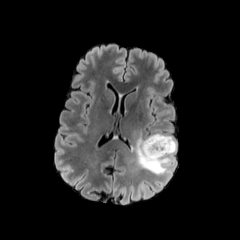
FLAIR MRI.
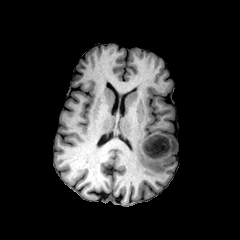
T1-weighted MR image.
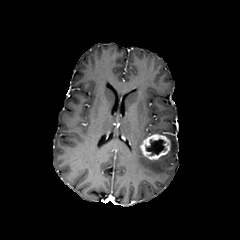
Post-contrast T1-weighted magnetic resonance.
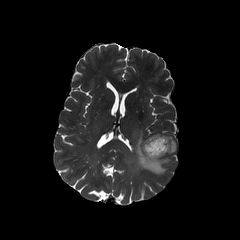
Same slice, T2-weighted MRI.
peritumoral_edema:
  - box=[133, 130, 176, 174]
enhancing_tumor:
  - box=[140, 134, 170, 159]
necrotic_tumor_core:
  - box=[145, 139, 165, 156]